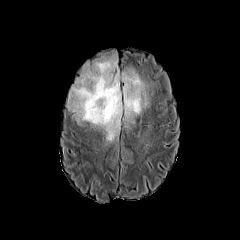
FLAIR MRI.
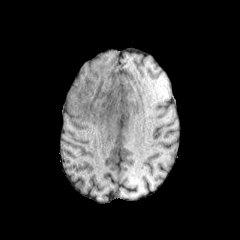
T1-weighted MR of the same slice.
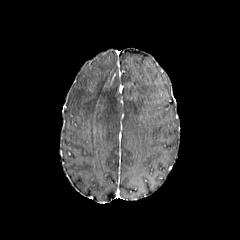
Post-contrast T1-weighted magnetic resonance.
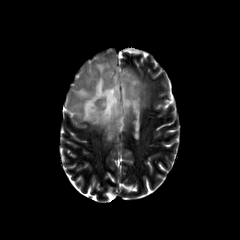
T2-weighted magnetic resonance of the same slice.
Head, Axial view
The peritumoral edema is located at <box>68,50,150,141</box>.